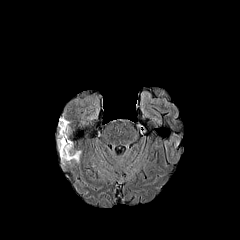
FLAIR MR.
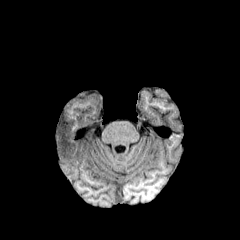
T1-weighted MR image of the same slice.
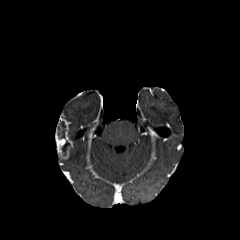
Post-contrast T1-weighted magnetic resonance.
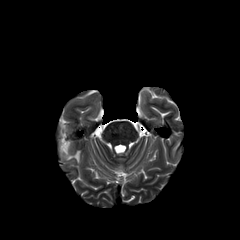
T2-weighted MRI.
Brain. 240x240 px. Axial slice.
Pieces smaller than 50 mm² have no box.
<segmentation>
  <enhancing_tumor>55:118:72:159</enhancing_tumor>
  <necrotic_tumor_core>61:140:70:155, 59:121:65:138</necrotic_tumor_core>
  <peritumoral_edema>61:150:81:162</peritumoral_edema>
</segmentation>